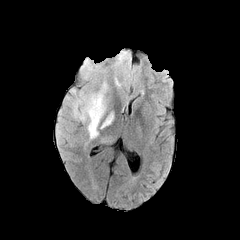
FLAIR magnetic resonance.
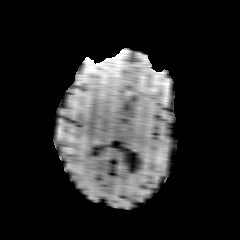
T1-weighted MR image.
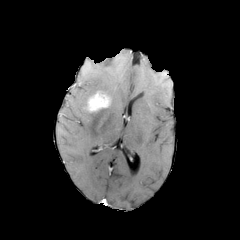
Post-contrast T1-weighted MR image of the same slice.
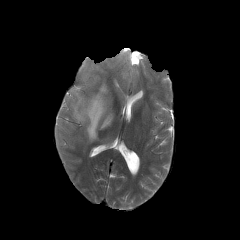
T2-weighted magnetic resonance of the same slice.
The enhancing tumor is at [86,92,109,112]. 3 peritumoral edema regions are located at [99,84,106,94], [74,97,106,139], [101,113,113,128].